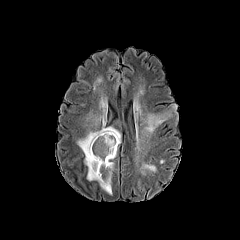
FLAIR MR.
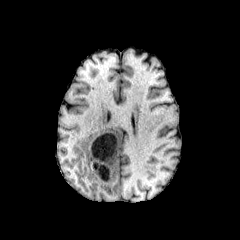
T1-weighted MR image.
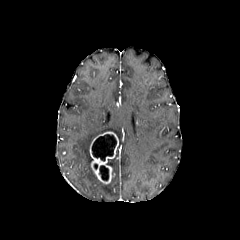
Post-contrast T1-weighted magnetic resonance of the same slice.
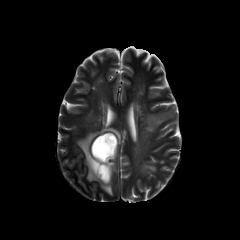
Same slice, T2-weighted MR image.
Axial slice; 240x240; Head
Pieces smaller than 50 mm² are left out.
enhancing tumor — 90:131:118:184
necrotic tumor core — 92:134:116:160, 99:165:108:180
peritumoral edema — 141:113:170:134, 134:103:141:114, 77:113:120:194, 100:99:107:110, 143:163:156:172